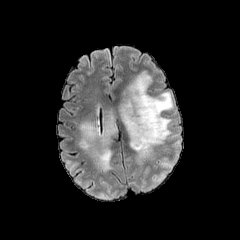
FLAIR magnetic resonance.
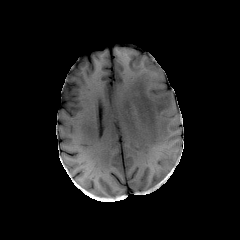
T1-weighted magnetic resonance of the same slice.
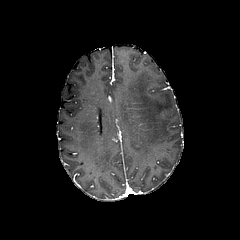
Same slice, post-contrast T1-weighted MR image.
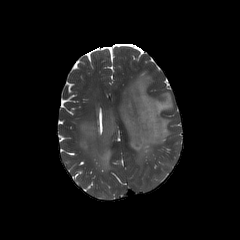
T2-weighted MR.
Axial plane. 240x240 px.
2 peritumoral edema regions are bounded by <box>119,71,173,163</box>, <box>79,108,116,172</box>.